Slice 69/155; Axial plane; Head
FLAIR magnetic resonance.
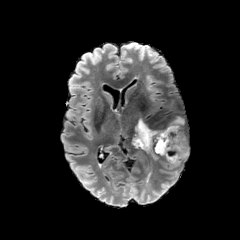
T1-weighted MRI.
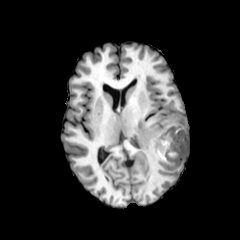
Post-contrast T1-weighted magnetic resonance.
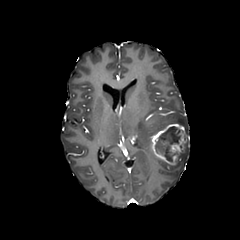
T2-weighted magnetic resonance.
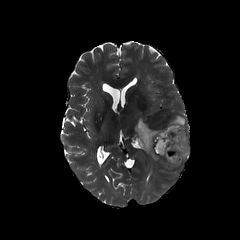
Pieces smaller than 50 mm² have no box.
Annotated regions:
* necrotic tumor core: x1=155 y1=126 x2=181 y2=161
* enhancing tumor: x1=151 y1=123 x2=189 y2=165
* peritumoral edema: x1=167 y1=116 x2=185 y2=130, x1=171 y1=144 x2=189 y2=166, x1=131 y1=118 x2=160 y2=159